Head; Axial slice
FLAIR MR.
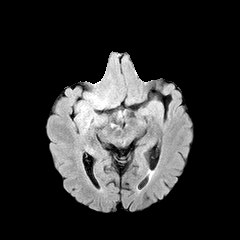
T1-weighted MR.
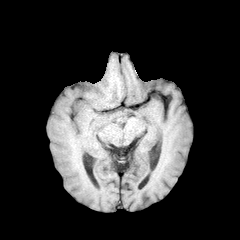
Post-contrast T1-weighted MR.
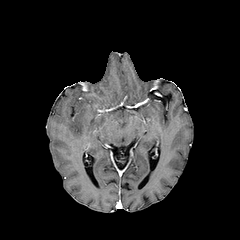
T2-weighted MRI.
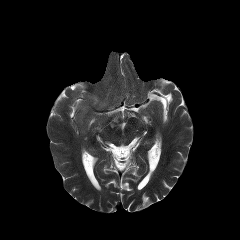
peritumoral edema: l=76, t=93, r=106, b=133